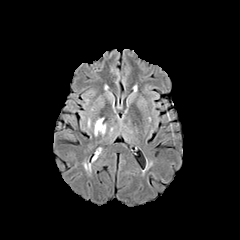
FLAIR MR image.
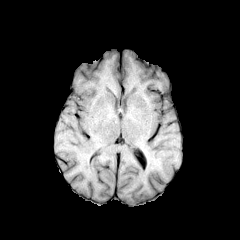
T1-weighted MRI.
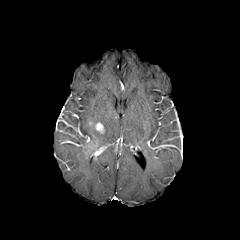
Post-contrast T1-weighted MRI.
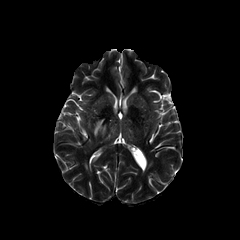
Same slice, T2-weighted MR.
240x240; Axial slice
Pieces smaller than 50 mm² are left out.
peritumoral_edema:
  - [94,118,106,136]
enhancing_tumor:
  - [95,122,103,132]